FLAIR MR image.
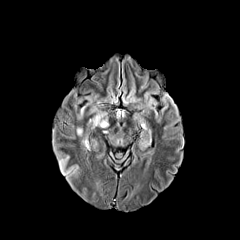
T1-weighted MR image.
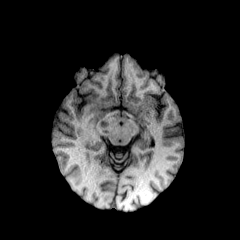
Post-contrast T1-weighted MR image.
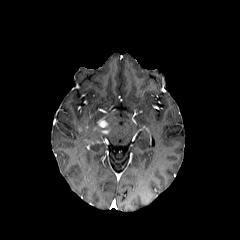
T2-weighted MRI.
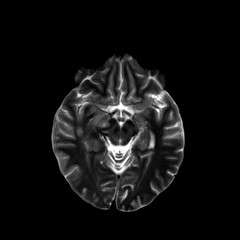
Image size 240x240 | Axial view
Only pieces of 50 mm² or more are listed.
peritumoral edema: (89,113,105,125)
enhancing tumor: (98,119,108,127)